FLAIR magnetic resonance.
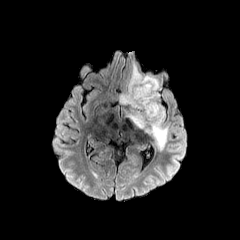
T1-weighted magnetic resonance.
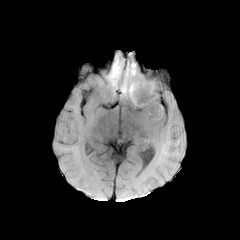
Post-contrast T1-weighted magnetic resonance.
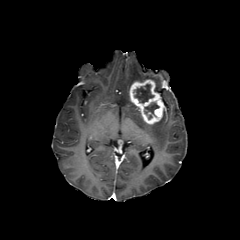
T2-weighted MRI.
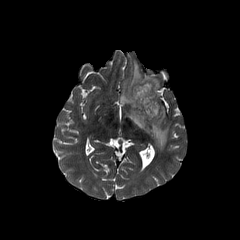
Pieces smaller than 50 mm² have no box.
enhancing tumor — x1=129 y1=79 x2=164 y2=124
peritumoral edema — x1=120 y1=63 x2=168 y2=151
necrotic tumor core — x1=144 y1=103 x2=159 y2=113, x1=134 y1=84 x2=153 y2=102